FLAIR MR.
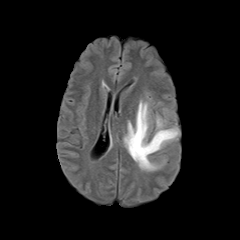
T1-weighted MR image.
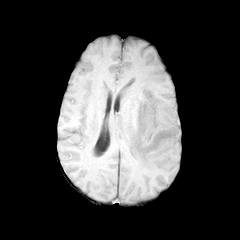
Post-contrast T1-weighted MRI.
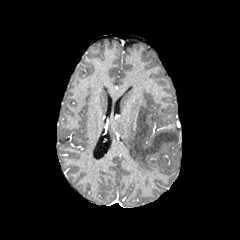
T2-weighted magnetic resonance.
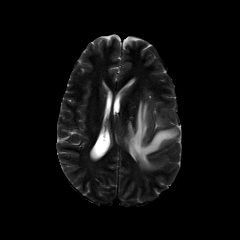
Axial plane
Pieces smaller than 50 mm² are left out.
The 3 largest peritumoral edema regions are bounded by bbox=[156, 114, 165, 128]; bbox=[163, 108, 171, 117]; bbox=[123, 96, 179, 171].